FLAIR MR image.
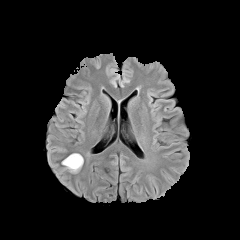
T1-weighted MR image.
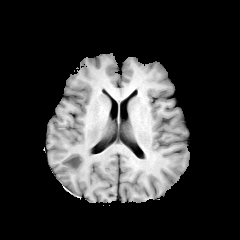
Post-contrast T1-weighted MR.
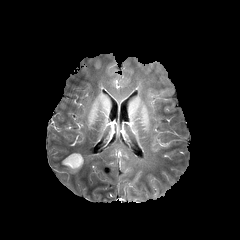
T2-weighted MRI.
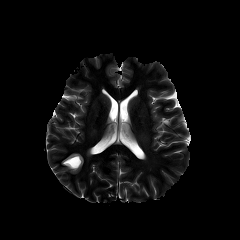
Axial slice
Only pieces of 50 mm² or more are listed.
{"enhancing_tumor": ["63 154 82 168"], "peritumoral_edema": ["64 164 82 173"]}